FLAIR magnetic resonance.
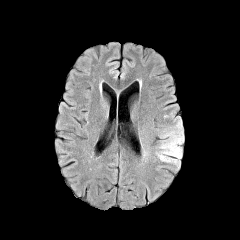
T1-weighted MR image.
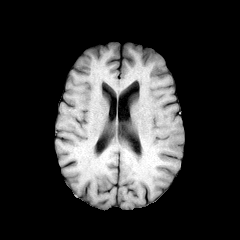
Post-contrast T1-weighted MR.
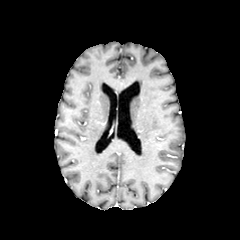
T2-weighted magnetic resonance.
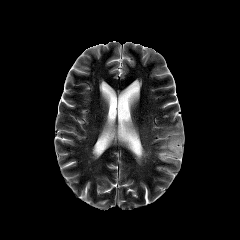
Brain | Axial slice
{"peritumoral_edema": ["(157, 121, 183, 164)"]}